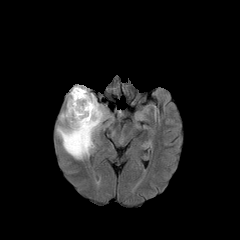
FLAIR magnetic resonance.
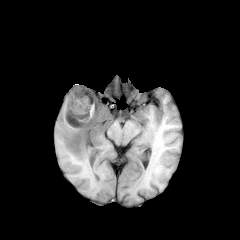
T1-weighted MRI.
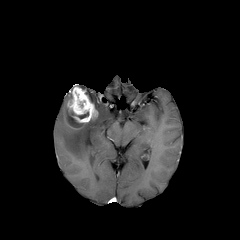
Post-contrast T1-weighted MR.
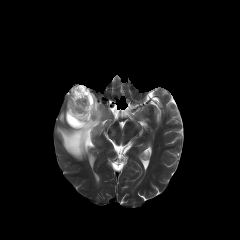
Same slice, T2-weighted MR.
Image size 240x240. Head.
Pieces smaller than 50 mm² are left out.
Annotated regions:
• enhancing tumor: x1=63, y1=85, x2=98, y2=130
• peritumoral edema: x1=56, y1=85, x2=107, y2=159
• necrotic tumor core: x1=65, y1=108, x2=82, y2=128